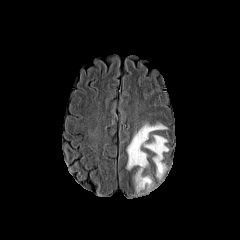
FLAIR MR image.
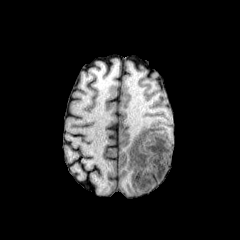
T1-weighted MRI.
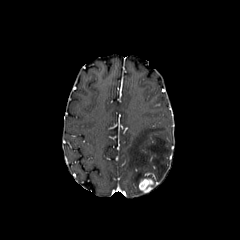
Post-contrast T1-weighted MRI of the same slice.
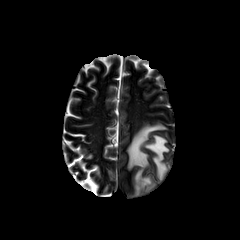
Same slice, T2-weighted MR image.
The enhancing tumor appears at 138:178:156:192. The peritumoral edema appears at 127:123:168:193.